240x240 px. Head. Slice 39 of 155.
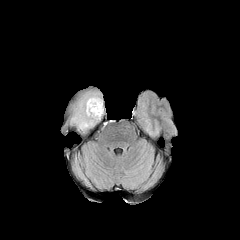
FLAIR MR.
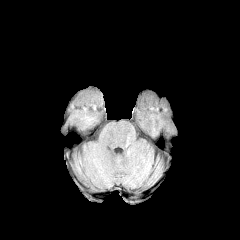
Same slice, T1-weighted MR.
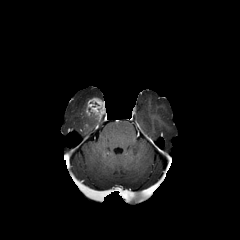
Post-contrast T1-weighted MRI.
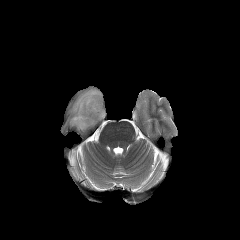
T2-weighted MRI.
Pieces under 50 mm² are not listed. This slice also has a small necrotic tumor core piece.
The largest enhancing tumor region is bounded by <bbox>86, 97, 105, 120</bbox>. The peritumoral edema is bounded by <bbox>70, 91, 100, 130</bbox>.